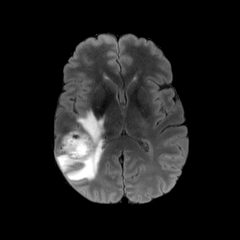
FLAIR magnetic resonance.
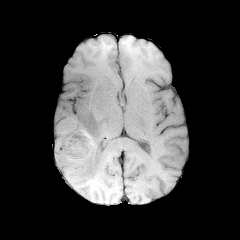
T1-weighted MR image of the same slice.
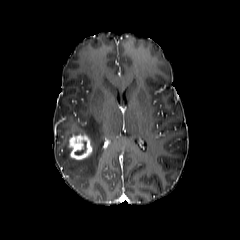
Post-contrast T1-weighted magnetic resonance.
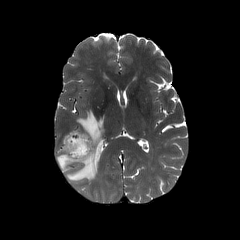
T2-weighted MR image of the same slice.
240x240. Axial view. Brain.
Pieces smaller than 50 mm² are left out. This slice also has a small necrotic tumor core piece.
peritumoral_edema:
  - <box>55,110,104,181</box>
enhancing_tumor:
  - <box>68,133,92,160</box>